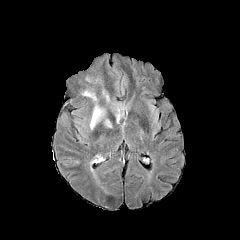
FLAIR MRI.
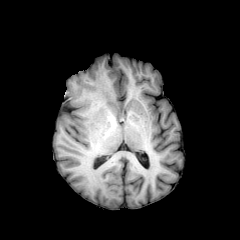
Same slice, T1-weighted MRI.
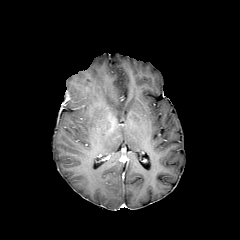
Post-contrast T1-weighted MR of the same slice.
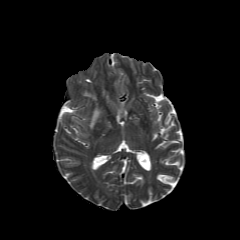
Same slice, T2-weighted magnetic resonance.
Head; 240x240
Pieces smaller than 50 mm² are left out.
peritumoral edema — [90,108,100,128]